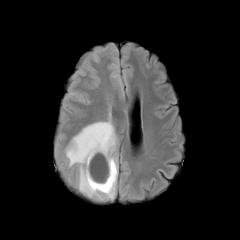
FLAIR MR image.
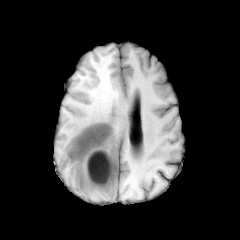
Same slice, T1-weighted MR.
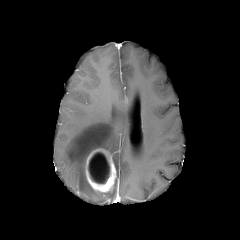
Same slice, post-contrast T1-weighted MR image.
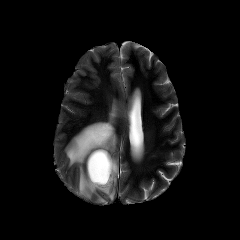
T2-weighted MR.
240x240
peritumoral edema at (x1=65, y1=120, x2=117, y2=200)
enhancing tumor at (x1=85, y1=148, x2=116, y2=192)
necrotic tumor core at (x1=88, y1=152, x2=109, y2=183)